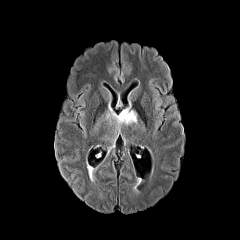
FLAIR MRI.
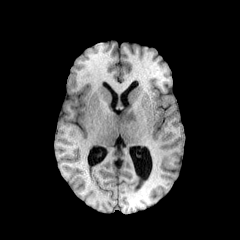
T1-weighted MR of the same slice.
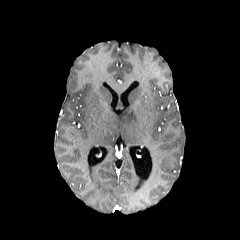
Post-contrast T1-weighted MR.
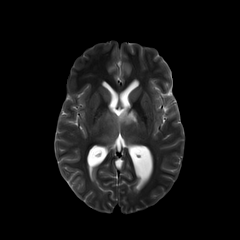
T2-weighted MR of the same slice.
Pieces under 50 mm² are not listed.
peritumoral_edema:
  - rect(106, 107, 137, 131)